FLAIR MRI.
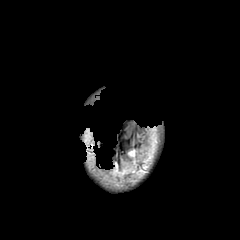
T1-weighted MRI.
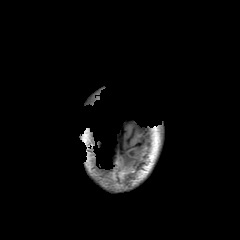
Post-contrast T1-weighted MR image.
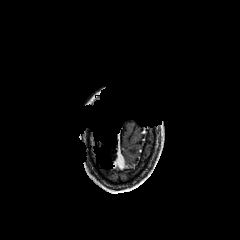
T2-weighted MR image.
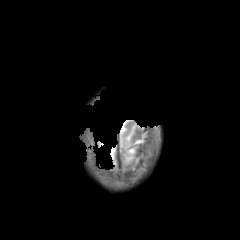
Axial plane. Brain.
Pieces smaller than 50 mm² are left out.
<segmentation>
  <peritumoral_edema>122,148,143,173</peritumoral_edema>
</segmentation>